Slice index 81, Image width 240 mm, 1.00 mm slice spacing, Image size 240x240, Head
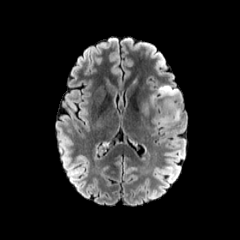
FLAIR MR.
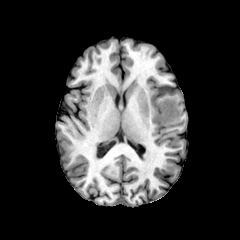
T1-weighted MRI.
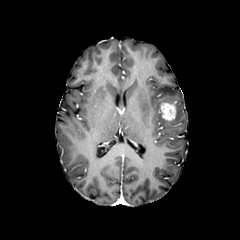
Same slice, post-contrast T1-weighted MRI.
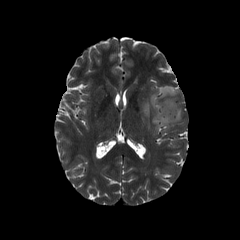
T2-weighted MRI.
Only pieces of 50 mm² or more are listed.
<segmentation>
  <enhancing_tumor>x1=159 y1=102 x2=176 y2=121</enhancing_tumor>
  <peritumoral_edema>x1=150 y1=94 x2=157 y2=105, x1=154 y1=104 x2=180 y2=126, x1=157 y1=85 x2=180 y2=97</peritumoral_edema>
</segmentation>